Axial view | 240x240 | Slice 83/155 | Brain
FLAIR MR.
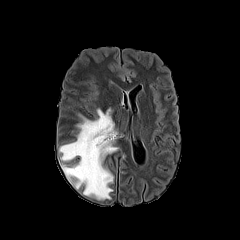
T1-weighted MRI.
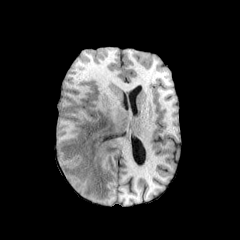
Post-contrast T1-weighted MRI.
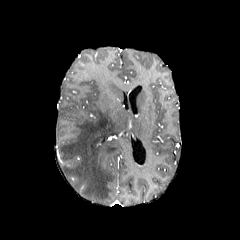
T2-weighted MRI.
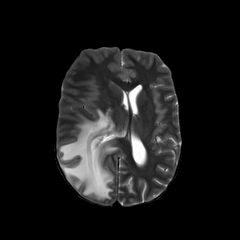
* peritumoral edema: x1=59, y1=108, x2=118, y2=199